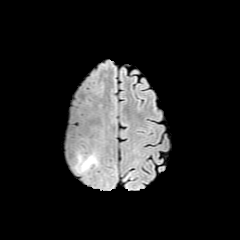
FLAIR MR image.
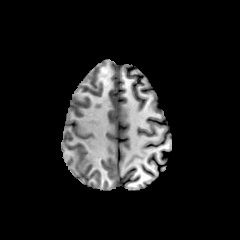
Same slice, T1-weighted MR image.
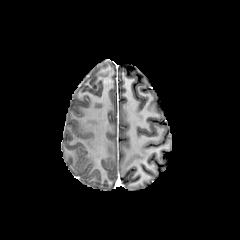
Same slice, post-contrast T1-weighted MRI.
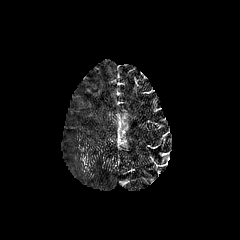
T2-weighted MR.
Image size 240x240; Brain; Axial slice
Segmented structures:
* peritumoral edema: x1=76 y1=150 x2=98 y2=171